FLAIR MR.
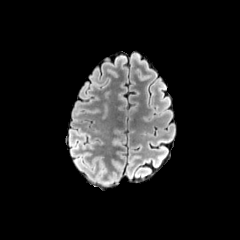
T1-weighted MRI.
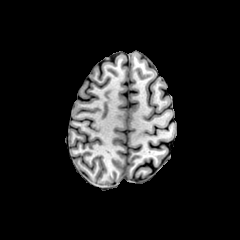
Post-contrast T1-weighted MR.
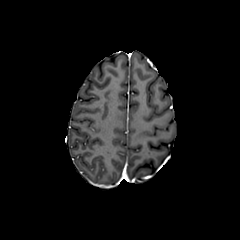
T2-weighted MR.
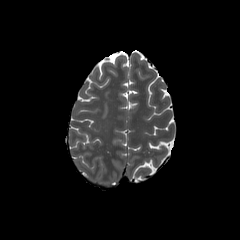
Axial plane
peritumoral_edema:
  - {"x1": 99, "y1": 180, "x2": 112, "y2": 185}